Slice index 79, Head, Axial slice, Image covers 240 mm x 240 mm
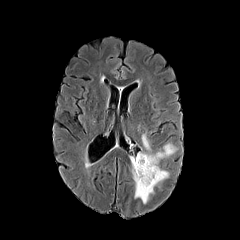
FLAIR MRI.
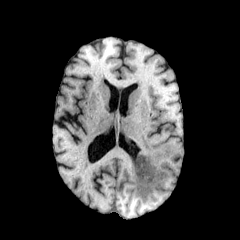
T1-weighted MR.
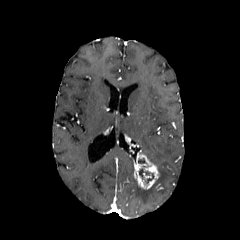
Same slice, post-contrast T1-weighted magnetic resonance.
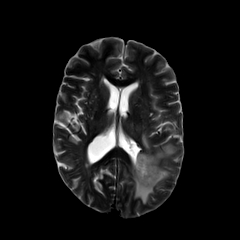
T2-weighted magnetic resonance.
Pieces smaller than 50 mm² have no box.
Annotated regions:
- peritumoral edema: [130, 132, 176, 203]
- necrotic tumor core: [139, 169, 153, 178]
- enhancing tumor: [133, 152, 159, 189]